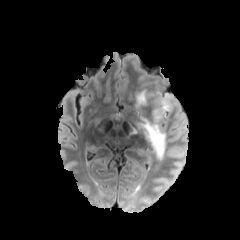
FLAIR magnetic resonance.
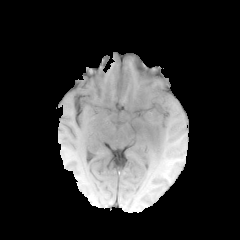
T1-weighted MR image.
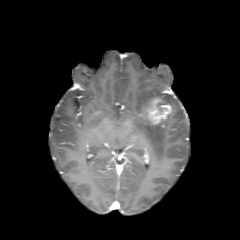
Post-contrast T1-weighted MR image of the same slice.
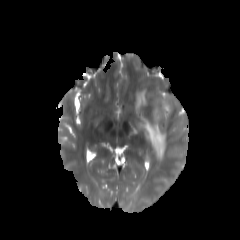
Same slice, T2-weighted MR image.
240x240 px
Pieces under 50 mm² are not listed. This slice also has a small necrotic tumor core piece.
The 3 largest peritumoral edema regions are bounded by left=162, top=94, right=173, bottom=107; left=136, top=91, right=145, bottom=108; left=140, top=118, right=166, bottom=160. The largest enhancing tumor region is located at left=147, top=97, right=172, bottom=124.